FLAIR MR image.
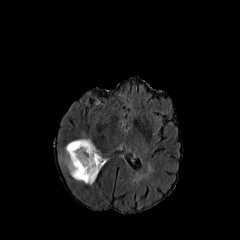
T1-weighted magnetic resonance.
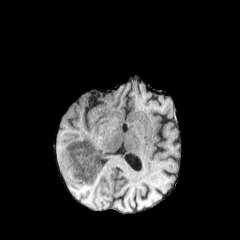
Post-contrast T1-weighted MRI.
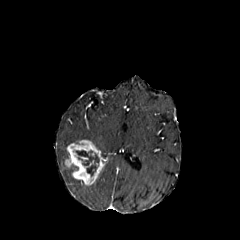
T2-weighted MR.
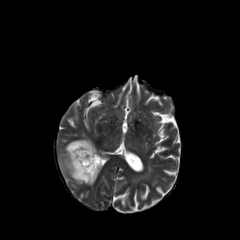
Head; Image size 240x240
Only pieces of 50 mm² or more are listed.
Findings:
- enhancing tumor: [65, 140, 106, 185]
- peritumoral edema: [59, 137, 90, 166], [66, 165, 78, 175]
- necrotic tumor core: [76, 150, 99, 176]